Brain; Image size 240x240
FLAIR MR image.
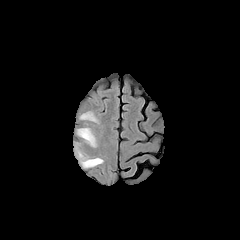
T1-weighted MR.
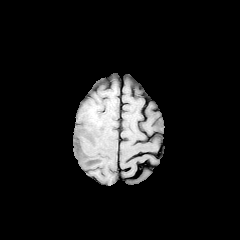
Post-contrast T1-weighted magnetic resonance.
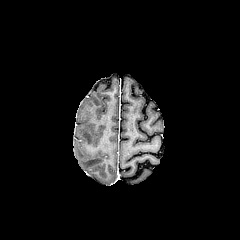
T2-weighted MRI.
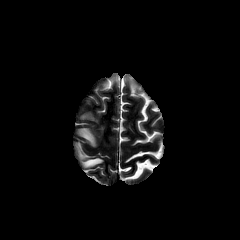
peritumoral_edema:
  - (left=78, top=128, right=95, bottom=146)
  - (left=81, top=112, right=96, bottom=121)
  - (left=78, top=151, right=102, bottom=167)